FLAIR MRI.
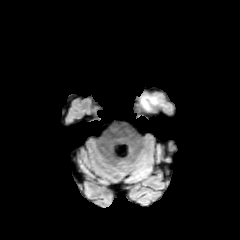
T1-weighted MR image.
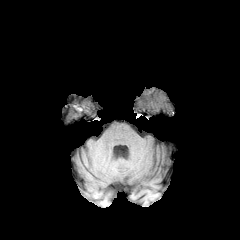
Post-contrast T1-weighted magnetic resonance.
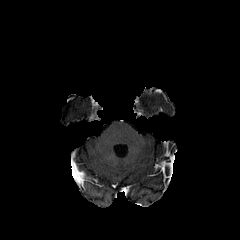
T2-weighted magnetic resonance.
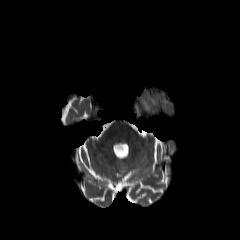
Axial plane; Brain
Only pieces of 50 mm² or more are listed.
peritumoral edema = 140, 95, 159, 111